Axial plane; Brain; Slice index 121
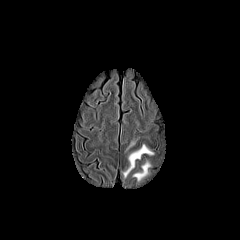
FLAIR MR image.
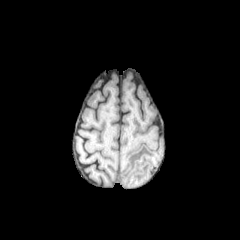
T1-weighted MR.
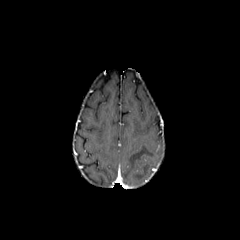
Post-contrast T1-weighted magnetic resonance.
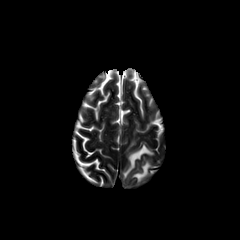
Same slice, T2-weighted MRI.
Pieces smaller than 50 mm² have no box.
{
  "peritumoral_edema": [
    "rect(133, 162, 150, 181)",
    "rect(123, 145, 153, 177)"
  ]
}